FLAIR MR image.
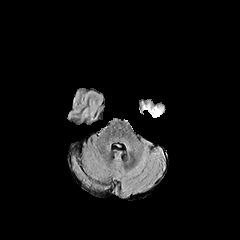
T1-weighted MR image.
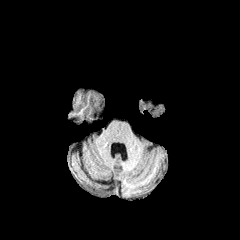
Post-contrast T1-weighted magnetic resonance.
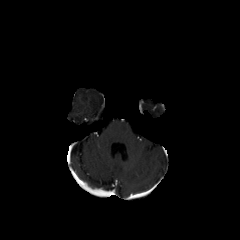
T2-weighted MR image.
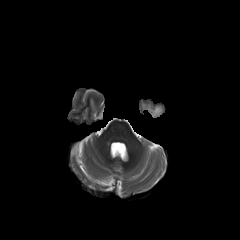
Axial slice
peritumoral_edema:
  - [143, 104, 162, 117]